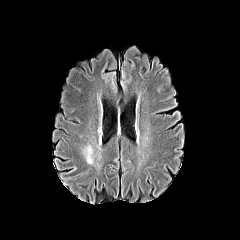
FLAIR magnetic resonance.
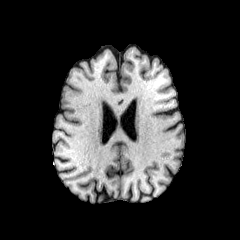
Same slice, T1-weighted magnetic resonance.
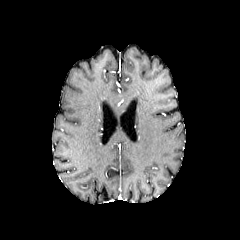
Same slice, post-contrast T1-weighted MRI.
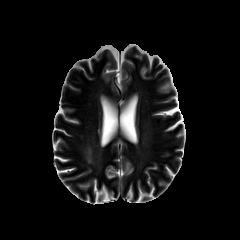
Same slice, T2-weighted MR.
Axial plane. Image size 240x240.
The peritumoral edema appears at [84,145,92,163].